Axial slice | Brain | Slice 104 of 155
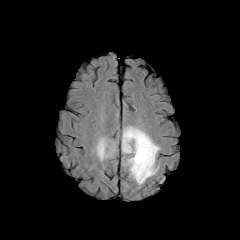
FLAIR MRI.
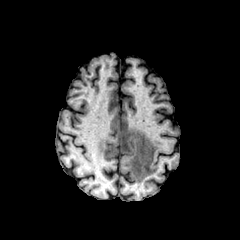
Same slice, T1-weighted MR.
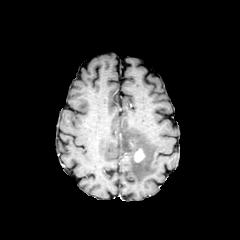
Post-contrast T1-weighted MRI of the same slice.
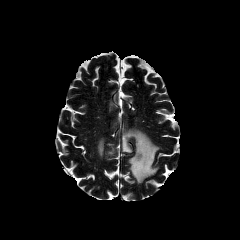
T2-weighted MRI of the same slice.
peritumoral edema: <bbox>96, 138, 114, 160</bbox>, <bbox>122, 127, 159, 184</bbox> | enhancing tumor: <bbox>134, 148, 144, 162</bbox>